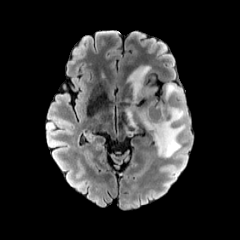
FLAIR MR.
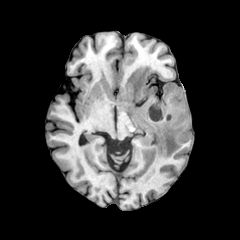
Same slice, T1-weighted magnetic resonance.
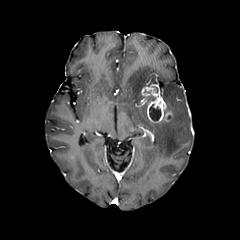
Same slice, post-contrast T1-weighted magnetic resonance.
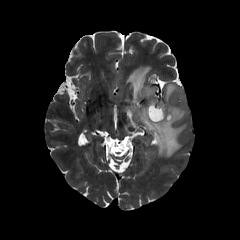
Same slice, T2-weighted MR.
Axial slice. Brain.
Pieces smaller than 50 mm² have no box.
{
  "peritumoral_edema": [
    "rect(125, 66, 187, 157)"
  ],
  "necrotic_tumor_core": [
    "rect(149, 104, 161, 121)"
  ],
  "enhancing_tumor": [
    "rect(141, 86, 172, 122)"
  ]
}